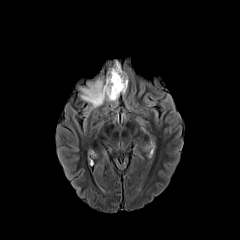
FLAIR MR.
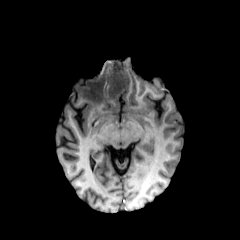
T1-weighted magnetic resonance of the same slice.
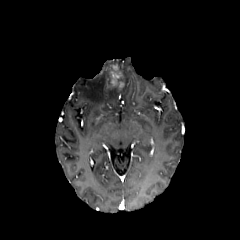
Post-contrast T1-weighted magnetic resonance.
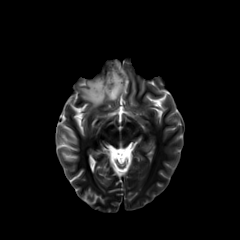
T2-weighted MRI.
peritumoral edema: bounding box 79:61:128:109
enhancing tumor: bounding box 107:64:124:90